Head
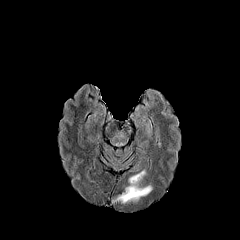
FLAIR MR image.
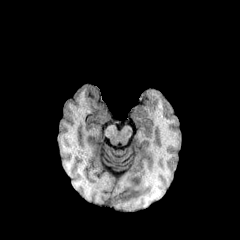
T1-weighted MR.
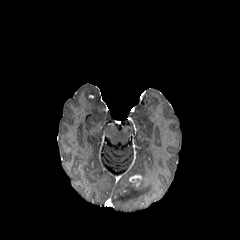
Post-contrast T1-weighted MRI of the same slice.
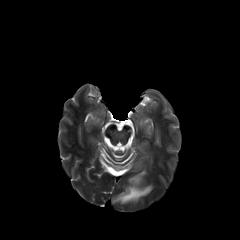
T2-weighted magnetic resonance of the same slice.
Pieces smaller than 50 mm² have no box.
peritumoral edema: <box>112,181,152,203</box> | enhancing tumor: <box>129,175,141,186</box>